FLAIR MR image.
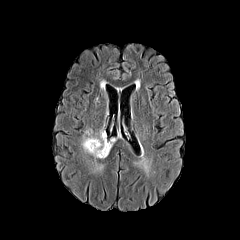
T1-weighted MR image.
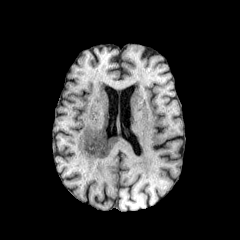
Post-contrast T1-weighted MR.
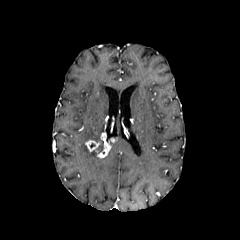
T2-weighted MR.
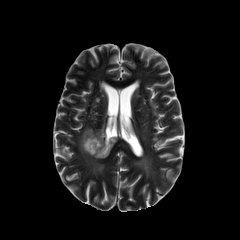
Head
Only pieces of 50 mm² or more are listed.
Annotated regions:
* enhancing tumor: (left=85, top=132, right=114, bottom=158)
* peritumoral edema: (left=94, top=163, right=104, bottom=172), (left=81, top=128, right=99, bottom=158)
* necrotic tumor core: (left=96, top=141, right=103, bottom=153)